Head. Image width 240 mm. Slice index 90.
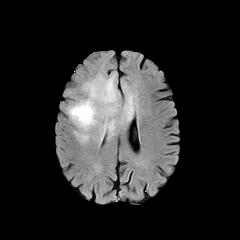
FLAIR MR image.
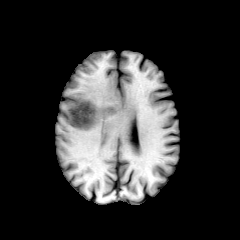
T1-weighted MR.
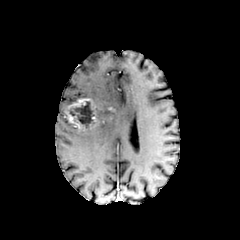
Post-contrast T1-weighted magnetic resonance of the same slice.
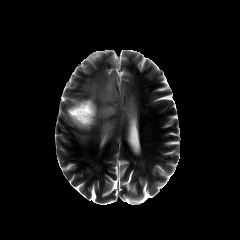
T2-weighted MRI.
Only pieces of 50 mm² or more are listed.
peritumoral edema: bounding box l=73, t=73, r=137, b=143
enhancing tumor: bounding box l=66, t=98, r=97, b=130
necrotic tumor core: bounding box l=69, t=101, r=96, b=128